240x240 px
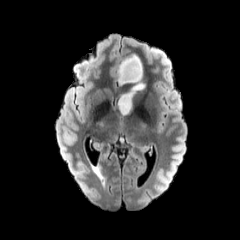
FLAIR MR image.
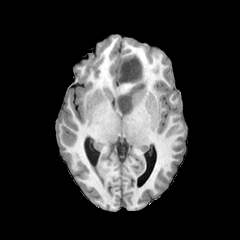
T1-weighted MR image of the same slice.
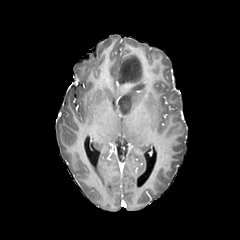
Post-contrast T1-weighted MRI.
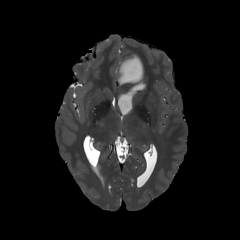
Same slice, T2-weighted magnetic resonance.
peritumoral edema = left=118, top=54, right=144, bottom=114